FLAIR MR image.
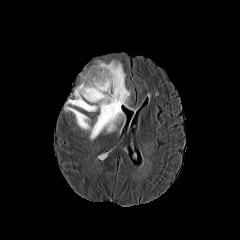
T1-weighted MR.
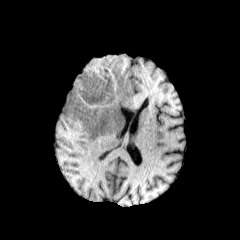
Post-contrast T1-weighted MRI.
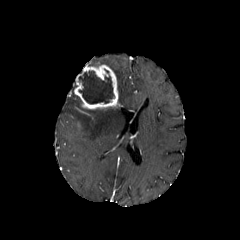
T2-weighted MRI.
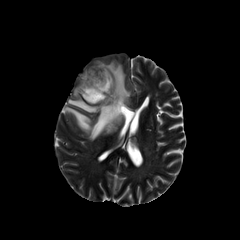
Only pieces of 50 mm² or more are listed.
<segmentation>
  <enhancing_tumor>x1=74, y1=64, x2=120, y2=109</enhancing_tumor>
  <necrotic_tumor_core>x1=78, y1=70, x2=114, y2=103</necrotic_tumor_core>
  <peritumoral_edema>x1=64, y1=94, x2=123, y2=140; x1=97, y1=60, x2=130, y2=107</peritumoral_edema>
</segmentation>